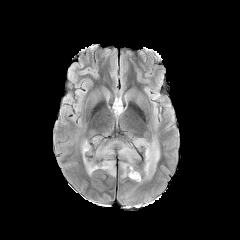
FLAIR MRI.
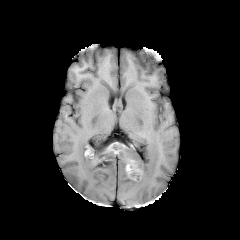
T1-weighted MR image of the same slice.
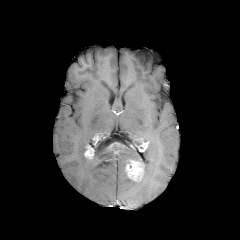
Post-contrast T1-weighted MR of the same slice.
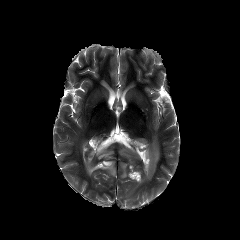
Same slice, T2-weighted magnetic resonance.
Brain, Axial plane
2 enhancing tumor regions are bounded by 84, 144, 94, 159; 125, 160, 144, 181. 4 peritumoral edema regions are bounded by 81, 138, 115, 176; 133, 138, 146, 147; 121, 163, 127, 177; 119, 140, 159, 183.